FLAIR MRI.
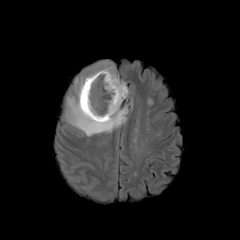
T1-weighted MR image.
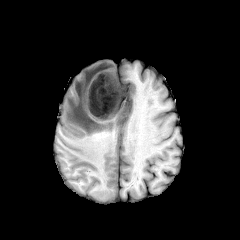
Post-contrast T1-weighted magnetic resonance.
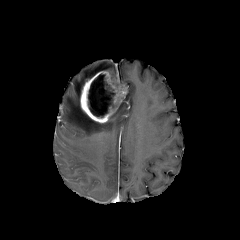
T2-weighted MR image.
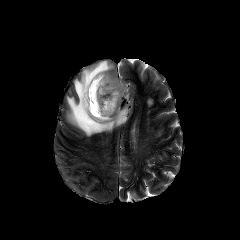
Axial slice
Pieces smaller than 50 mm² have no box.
<segmentation>
  <peritumoral_edema>62 60 128 136</peritumoral_edema>
  <necrotic_tumor_core>88 74 115 117</necrotic_tumor_core>
  <enhancing_tumor>80 70 127 123</enhancing_tumor>
</segmentation>